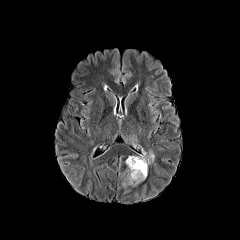
FLAIR MRI.
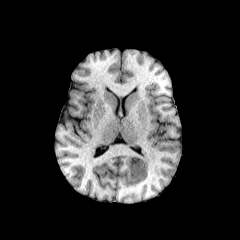
Same slice, T1-weighted MRI.
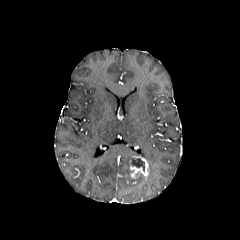
Same slice, post-contrast T1-weighted MRI.
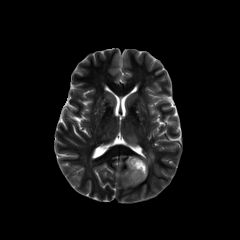
T2-weighted magnetic resonance.
Head; Axial view
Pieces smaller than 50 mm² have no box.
• enhancing tumor: 129:156:148:178
• peritumoral edema: 127:174:145:184, 129:136:136:144, 141:151:154:164
• necrotic tumor core: 131:158:144:171